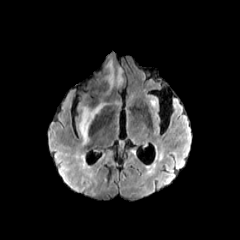
FLAIR MRI.
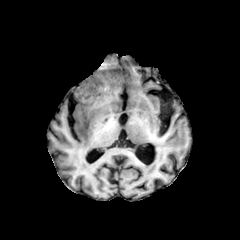
Same slice, T1-weighted MR image.
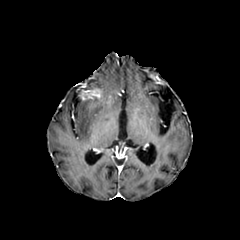
Post-contrast T1-weighted MR image.
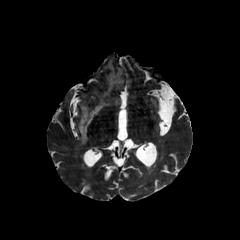
T2-weighted MR image.
enhancing_tumor:
  - box(79, 88, 101, 100)
peritumoral_edema:
  - box(107, 61, 122, 87)
  - box(78, 104, 102, 143)